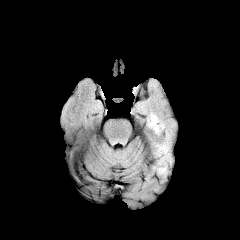
FLAIR MRI.
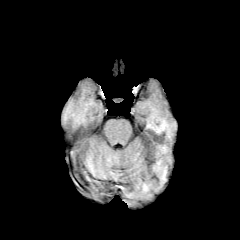
T1-weighted MRI.
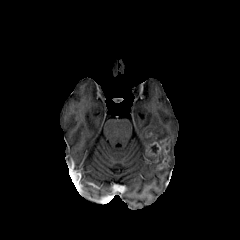
Post-contrast T1-weighted magnetic resonance.
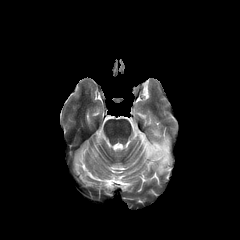
Same slice, T2-weighted MRI.
Axial slice.
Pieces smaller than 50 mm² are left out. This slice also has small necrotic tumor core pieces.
peritumoral edema: bbox=[146, 114, 171, 148]; bbox=[150, 151, 171, 174] | enhancing tumor: bbox=[146, 136, 169, 169]